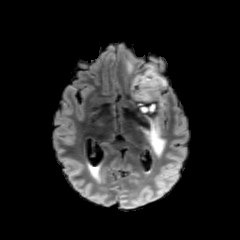
FLAIR MRI.
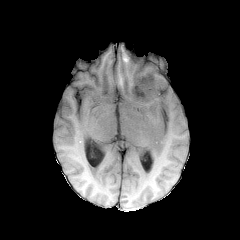
T1-weighted MR image.
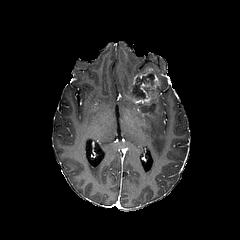
Post-contrast T1-weighted MRI.
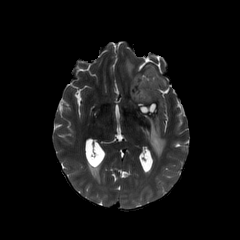
T2-weighted magnetic resonance.
Head, Axial view
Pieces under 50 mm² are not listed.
2 enhancing tumor regions are located at bbox=[133, 68, 160, 103]; bbox=[140, 103, 155, 113]. The 4 largest peritumoral edema regions are bounded by bbox=[154, 92, 163, 115]; bbox=[146, 64, 166, 87]; bbox=[143, 117, 165, 156]; bbox=[125, 59, 133, 74]. 2 necrotic tumor core regions are bounded by bbox=[135, 73, 154, 99]; bbox=[141, 105, 154, 112].